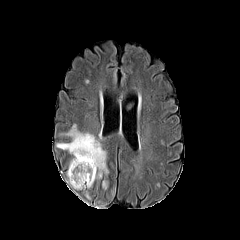
FLAIR magnetic resonance.
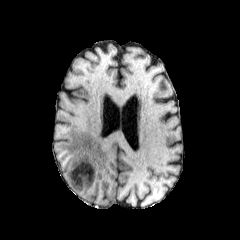
T1-weighted MR.
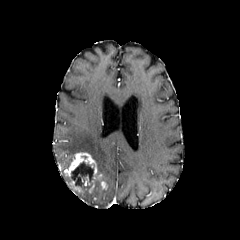
Post-contrast T1-weighted MR.
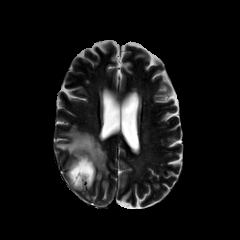
Same slice, T2-weighted MRI.
Axial plane
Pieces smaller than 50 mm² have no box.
<segmentation>
  <necrotic_tumor_core>l=71, t=161, r=93, b=188</necrotic_tumor_core>
  <enhancing_tumor>l=66, t=152, r=107, b=190</enhancing_tumor>
  <peritumoral_edema>l=56, t=124, r=108, b=176</peritumoral_edema>
</segmentation>